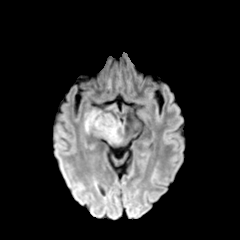
FLAIR MRI.
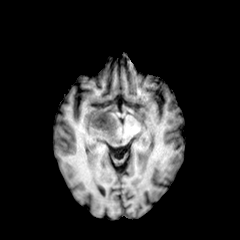
Same slice, T1-weighted MR.
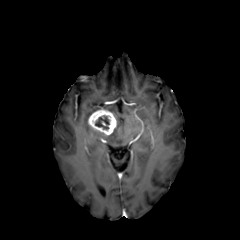
Post-contrast T1-weighted magnetic resonance.
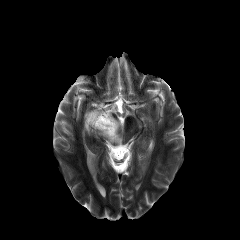
T2-weighted MR.
Axial slice
enhancing tumor at [88,109,116,135]
necrotic tumor core at [95,116,109,129]
peritumoral edema at [84,110,123,143]